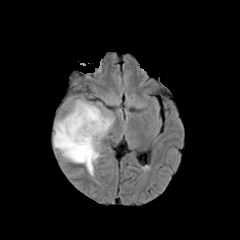
FLAIR MR.
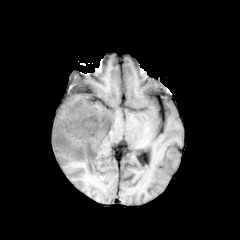
T1-weighted magnetic resonance of the same slice.
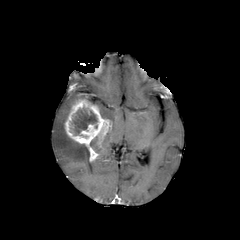
Post-contrast T1-weighted magnetic resonance.
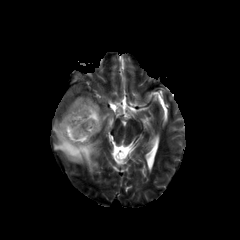
T2-weighted MR.
Brain, 240x240, Axial slice
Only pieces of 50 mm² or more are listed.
enhancing tumor at bbox=[64, 99, 111, 161]
peritumoral edema at bbox=[53, 98, 96, 175]; bbox=[92, 103, 114, 126]; bbox=[90, 137, 100, 158]
necrotic tumor core at bbox=[72, 108, 97, 134]